Axial plane
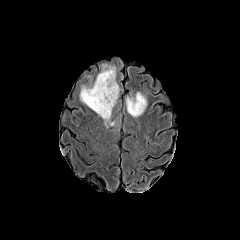
FLAIR MR.
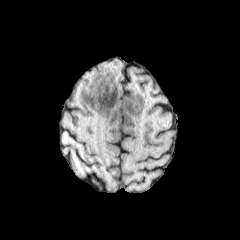
T1-weighted MR image of the same slice.
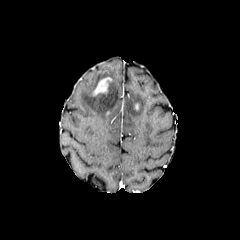
Same slice, post-contrast T1-weighted MR.
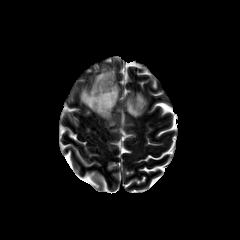
T2-weighted MR.
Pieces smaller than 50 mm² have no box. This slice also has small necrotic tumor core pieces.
<segmentation>
  <enhancing_tumor>93 77 111 95</enhancing_tumor>
  <peritumoral_edema>126 92 147 117, 80 65 119 127</peritumoral_edema>
</segmentation>